FLAIR MRI.
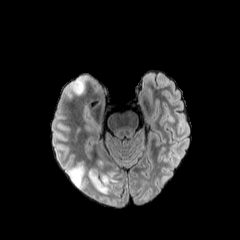
T1-weighted MR image.
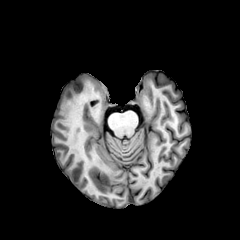
Post-contrast T1-weighted magnetic resonance.
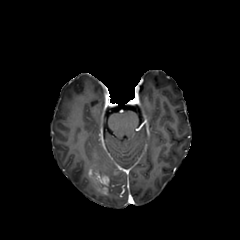
T2-weighted MR image.
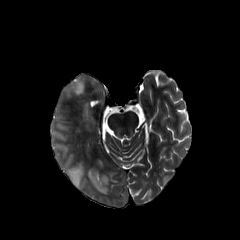
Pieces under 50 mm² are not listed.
enhancing tumor: x1=88 y1=169 x2=109 y2=194 | peritumoral edema: x1=65 y1=76 x2=86 y2=97, x1=68 y1=166 x2=85 y2=188, x1=100 y1=171 x2=118 y2=194